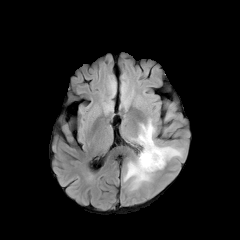
FLAIR magnetic resonance.
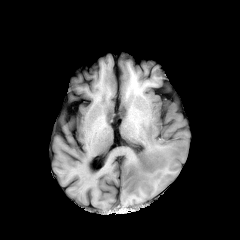
Same slice, T1-weighted MR.
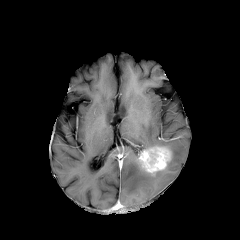
Post-contrast T1-weighted magnetic resonance of the same slice.
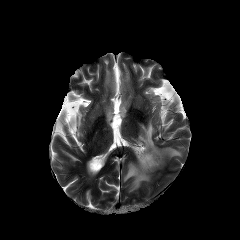
T2-weighted magnetic resonance.
240x240 | Axial plane
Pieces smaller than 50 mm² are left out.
- enhancing tumor: x1=138 y1=147 x2=171 y2=173
- peritumoral edema: x1=160 y1=147 x2=182 y2=158, x1=136 y1=119 x2=157 y2=149, x1=123 y1=156 x2=153 y2=190